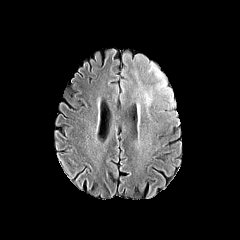
FLAIR MR.
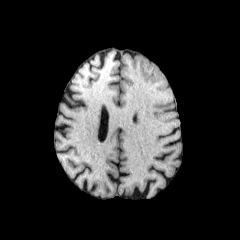
T1-weighted magnetic resonance of the same slice.
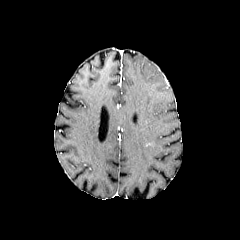
Post-contrast T1-weighted MRI.
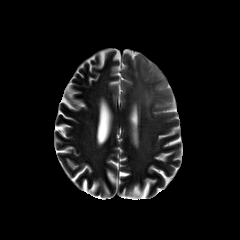
Same slice, T2-weighted magnetic resonance.
Axial plane
2 peritumoral edema regions are bounded by [x1=144, y1=89, x2=152, y2=104], [x1=149, y1=63, x2=173, y2=105].